FLAIR MRI.
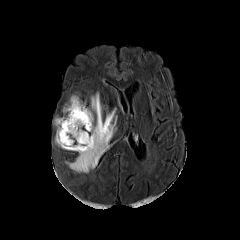
T1-weighted MR.
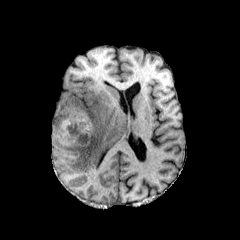
Post-contrast T1-weighted magnetic resonance.
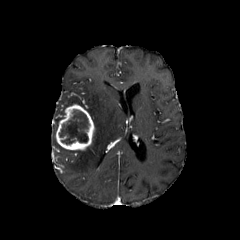
T2-weighted magnetic resonance.
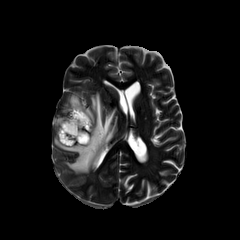
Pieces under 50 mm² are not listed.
The 3 largest peritumoral edema regions appear at 69, 96, 84, 107; 54, 117, 60, 126; 66, 92, 117, 172. The largest necrotic tumor core region is at 59, 110, 89, 144. The largest enhancing tumor region is located at 55, 104, 94, 150.